FLAIR magnetic resonance.
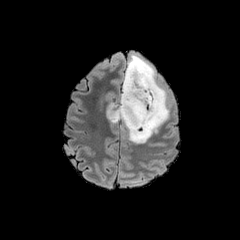
T1-weighted magnetic resonance.
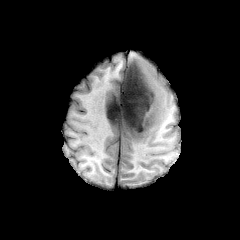
Post-contrast T1-weighted MR image.
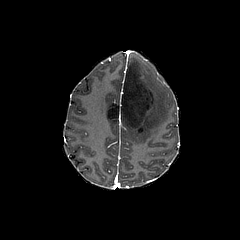
T2-weighted MR image.
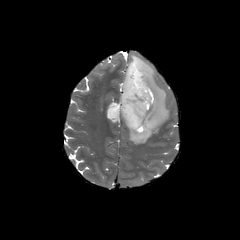
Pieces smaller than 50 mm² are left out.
<segmentation>
  <peritumoral_edema>[128,55,169,143]</peritumoral_edema>
  <necrotic_tumor_core>[107,61,154,135]</necrotic_tumor_core>
</segmentation>